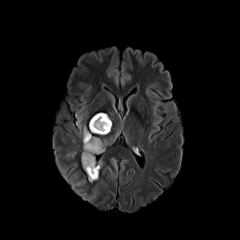
FLAIR MR.
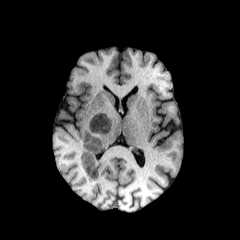
T1-weighted MR of the same slice.
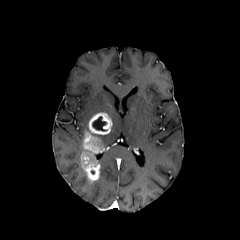
Post-contrast T1-weighted MRI.
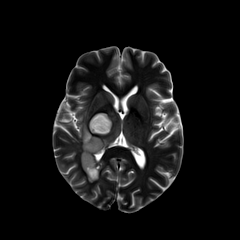
Same slice, T2-weighted MR.
240x240; Axial slice
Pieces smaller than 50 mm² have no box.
enhancing_tumor:
  - bbox=[81, 130, 104, 181]
  - bbox=[89, 112, 112, 134]
peritumoral_edema:
  - bbox=[76, 115, 87, 138]
necrotic_tumor_core:
  - bbox=[92, 116, 107, 131]